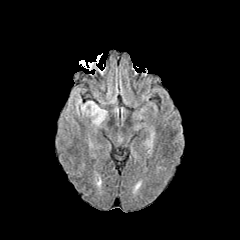
FLAIR MR.
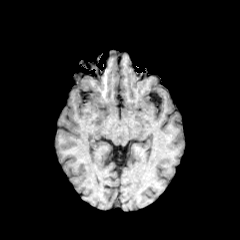
T1-weighted MR.
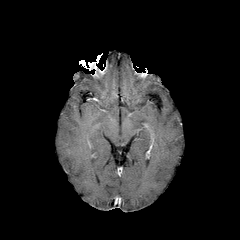
Post-contrast T1-weighted MR image.
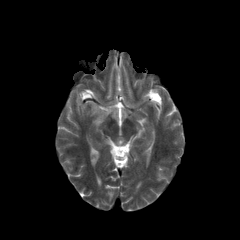
T2-weighted MR.
Head, Axial slice
<segmentation>
  <peritumoral_edema>{"x1": 75, "y1": 97, "x2": 107, "y2": 126}</peritumoral_edema>
</segmentation>